240x240.
FLAIR MRI.
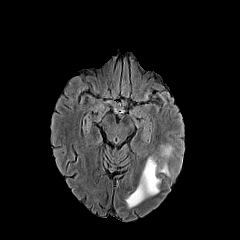
T1-weighted MRI.
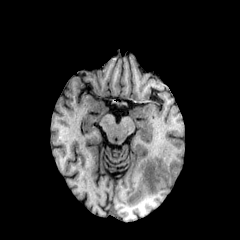
Post-contrast T1-weighted MR image.
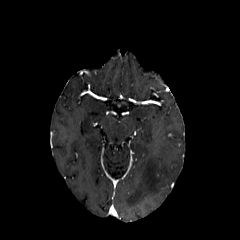
T2-weighted MRI.
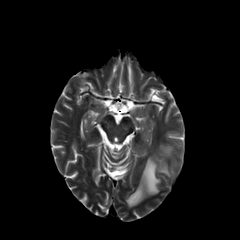
<segmentation>
  <peritumoral_edema>(159, 145, 173, 158), (125, 156, 170, 207)</peritumoral_edema>
</segmentation>